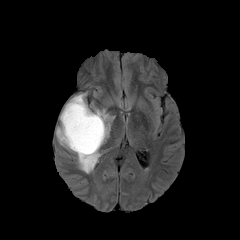
FLAIR MRI.
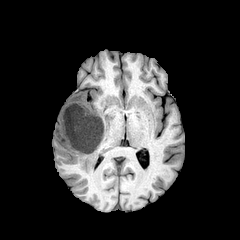
T1-weighted MR of the same slice.
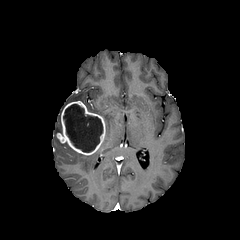
Post-contrast T1-weighted magnetic resonance.
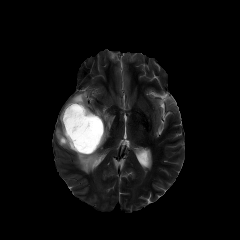
T2-weighted magnetic resonance of the same slice.
Axial slice
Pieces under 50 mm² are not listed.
peritumoral edema: 60 143 99 173, 68 93 90 110, 93 108 112 143 | necrotic tumor core: 63 104 102 152 | enhancing tumor: 56 101 105 155